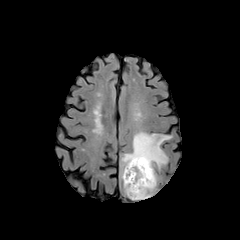
FLAIR MRI.
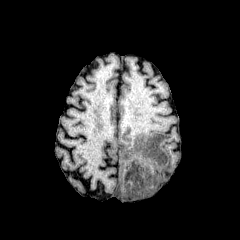
T1-weighted MRI.
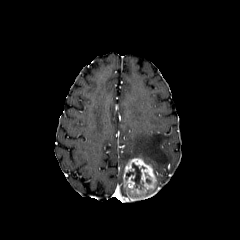
Same slice, post-contrast T1-weighted MR.
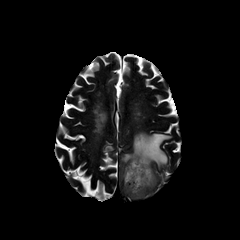
Same slice, T2-weighted magnetic resonance.
240x240 | Axial slice | Brain
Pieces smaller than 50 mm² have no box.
necrotic_tumor_core:
  - 126:163:141:189
enhancing_tumor:
  - 123:157:157:200
peritumoral_edema:
  - 121:131:171:179